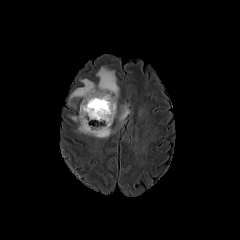
FLAIR MRI.
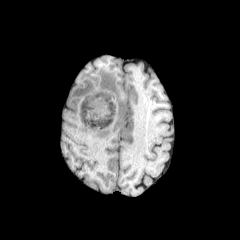
Same slice, T1-weighted MR image.
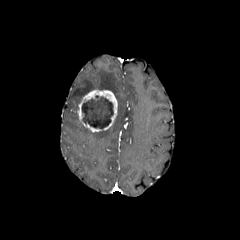
Post-contrast T1-weighted MR image.
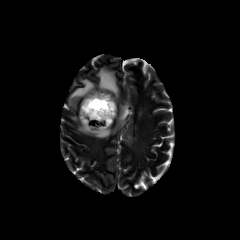
T2-weighted MR image.
Brain.
peritumoral edema = 69 67 119 105, 118 105 130 125, 70 116 114 138
enhancing tumor = 77 89 117 132
necrotic tumor core = 82 96 113 128